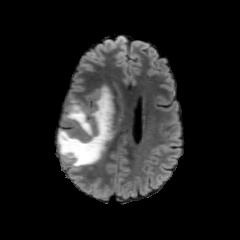
FLAIR MR image.
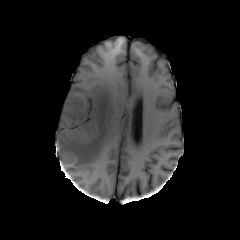
T1-weighted magnetic resonance.
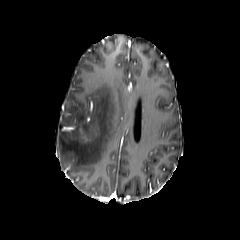
Post-contrast T1-weighted MRI.
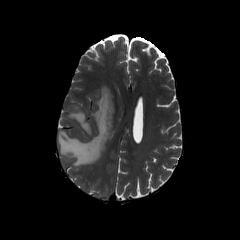
Same slice, T2-weighted magnetic resonance.
Axial slice
peritumoral edema — (58, 85, 115, 167)